Slice 87 of 155
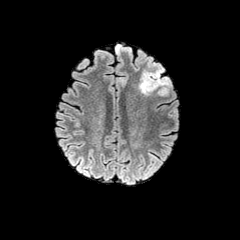
FLAIR MR image.
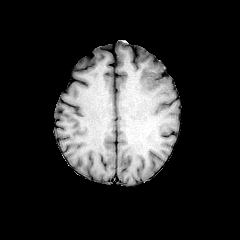
T1-weighted MR image of the same slice.
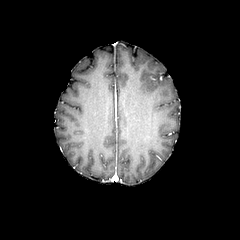
Same slice, post-contrast T1-weighted MR image.
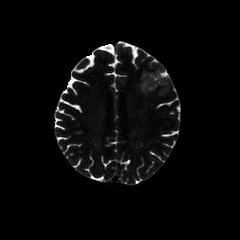
T2-weighted magnetic resonance.
Annotated regions:
• peritumoral edema: [x1=139, y1=68, x2=171, y2=95], [x1=115, y1=44, x2=121, y2=54]